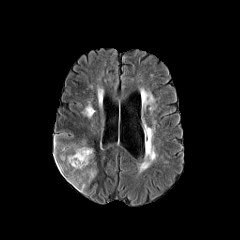
FLAIR MRI.
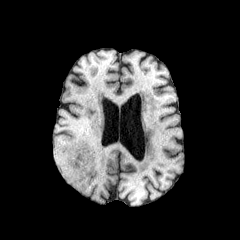
T1-weighted MR image.
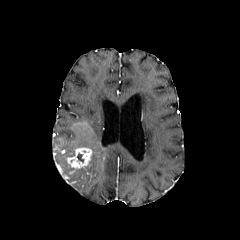
Post-contrast T1-weighted magnetic resonance.
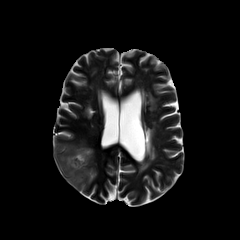
T2-weighted MR.
Axial view
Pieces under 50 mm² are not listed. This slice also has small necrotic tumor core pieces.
peritumoral edema = 54, 153, 96, 192; 54, 137, 60, 152; 61, 143, 88, 151
enhancing tumor = 66, 147, 92, 169